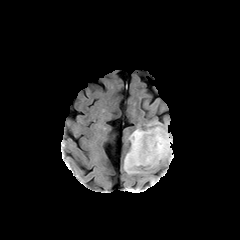
FLAIR magnetic resonance.
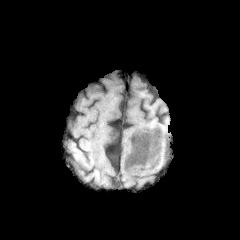
T1-weighted MR image.
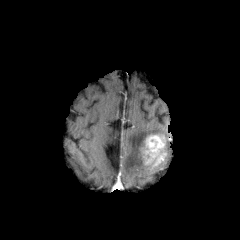
Post-contrast T1-weighted MR image.
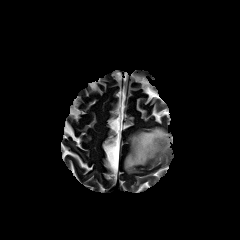
T2-weighted MR.
Axial plane; Brain
{
  "peritumoral_edema": [
    "124,126,171,173"
  ],
  "enhancing_tumor": [
    "140,133,166,166"
  ]
}